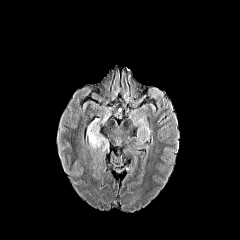
FLAIR MR image.
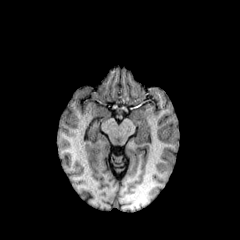
T1-weighted magnetic resonance.
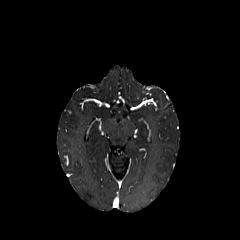
Post-contrast T1-weighted MRI.
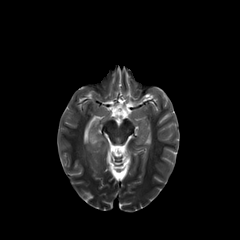
T2-weighted MRI.
Brain.
• peritumoral edema: x1=89, y1=127, x2=107, y2=151